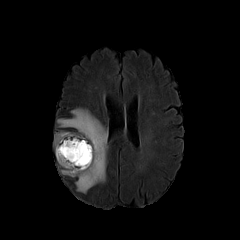
FLAIR MRI.
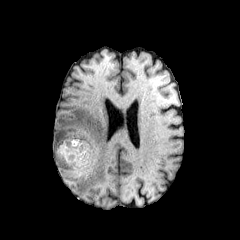
T1-weighted MR image of the same slice.
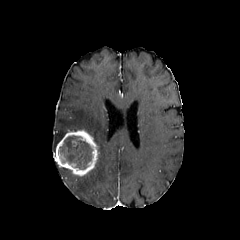
Post-contrast T1-weighted MR image of the same slice.
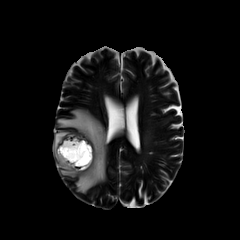
T2-weighted MR.
Axial view. 240x240. Head.
The necrotic tumor core is bounded by <box>60,136,92,169</box>. The enhancing tumor is located at <box>55,130,99,175</box>. 3 peritumoral edema regions appear at <box>60,168,75,177</box>, <box>54,131,66,152</box>, <box>57,108,107,193</box>.